Axial view; 240x240; Image width 240 mm, 1.00 mm slice spacing
FLAIR MR image.
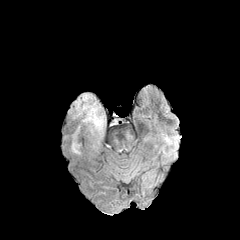
T1-weighted MRI.
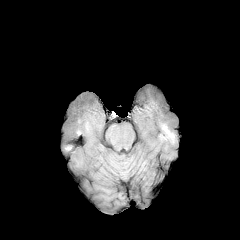
Post-contrast T1-weighted magnetic resonance.
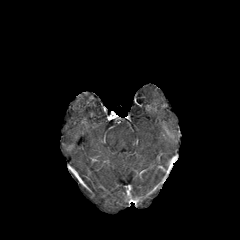
T2-weighted MR image.
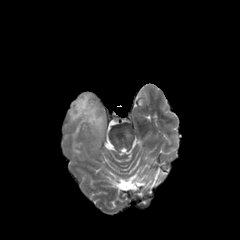
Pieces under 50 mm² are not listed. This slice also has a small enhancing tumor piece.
peritumoral_edema:
  - l=72, t=127, r=81, b=153
  - l=71, t=94, r=102, b=128